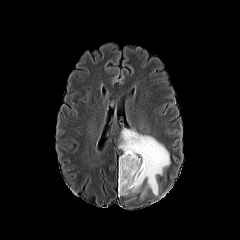
FLAIR magnetic resonance.
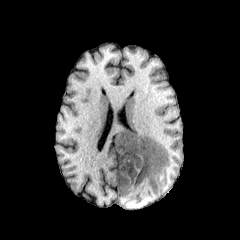
T1-weighted MRI.
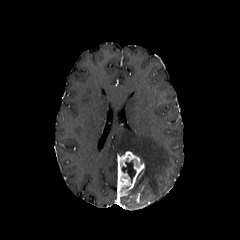
Post-contrast T1-weighted MRI of the same slice.
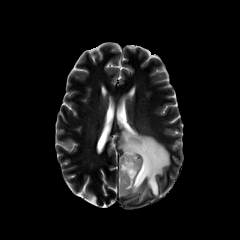
Same slice, T2-weighted MR.
Head. Image size 240x240.
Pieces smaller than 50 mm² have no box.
necrotic tumor core — x1=122, y1=160, x2=135, y2=182
peritumoral edema — x1=118, y1=128, x2=170, y2=195
enhancing tumor — x1=117, y1=151, x2=144, y2=196